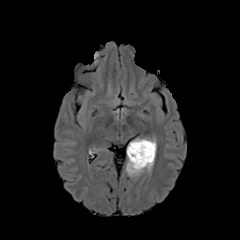
FLAIR MR image.
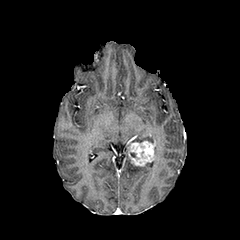
T1-weighted MR image.
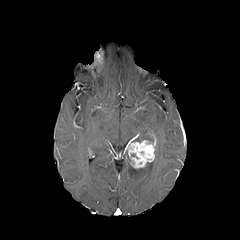
Post-contrast T1-weighted MR image.
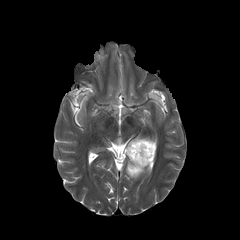
T2-weighted magnetic resonance of the same slice.
Head | Axial slice
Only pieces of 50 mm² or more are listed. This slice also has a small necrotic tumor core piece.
peritumoral edema at [x1=126, y1=150, x2=154, y2=175], [x1=134, y1=137, x2=156, y2=157]
enhancing tumor at [x1=128, y1=139, x2=155, y2=168]